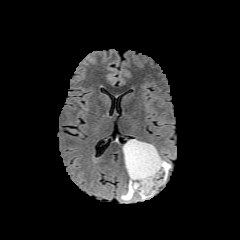
FLAIR MRI.
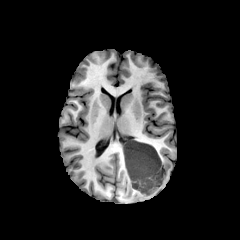
T1-weighted MR.
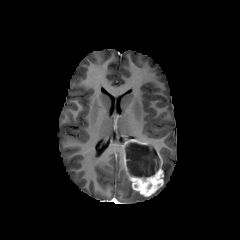
Post-contrast T1-weighted MR image.
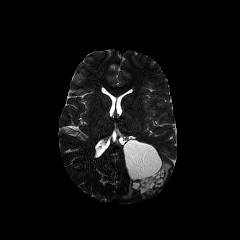
Same slice, T2-weighted MRI.
Head, Image size 240x240
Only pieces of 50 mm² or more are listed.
The enhancing tumor is located at 123,139,163,196. The necrotic tumor core is bounded by 125,143,159,177. The 2 largest peritumoral edema regions are bounded by 121,180,136,200; 162,160,171,181.